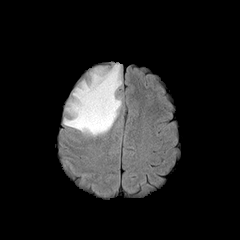
FLAIR magnetic resonance.
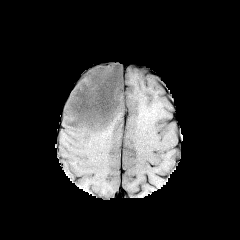
T1-weighted MRI.
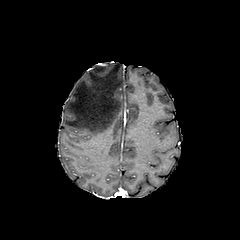
Same slice, post-contrast T1-weighted magnetic resonance.
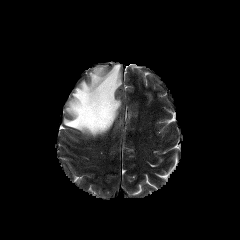
T2-weighted magnetic resonance.
240x240 px
The peritumoral edema is at region(63, 64, 122, 136).